Slice 62/155
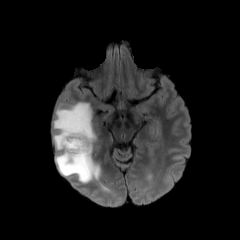
FLAIR MR image.
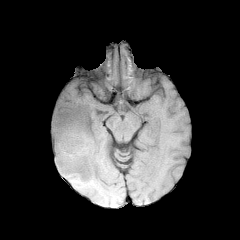
T1-weighted MRI of the same slice.
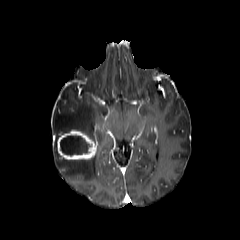
Post-contrast T1-weighted MR.
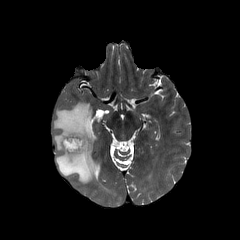
T2-weighted MR image of the same slice.
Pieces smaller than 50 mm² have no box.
The enhancing tumor appears at region(57, 130, 97, 160). The necrotic tumor core lies within region(60, 136, 89, 155). The largest peritumoral edema region is located at region(53, 102, 100, 183).